FLAIR MRI.
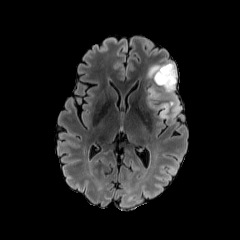
T1-weighted MR.
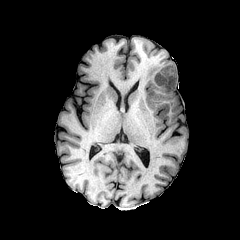
Post-contrast T1-weighted MR.
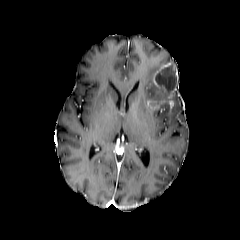
T2-weighted MR.
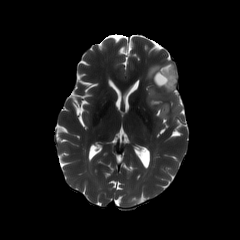
Head. Axial plane.
The necrotic tumor core is located at region(155, 65, 176, 91). The enhancing tumor lies within region(147, 63, 177, 109). The peritumoral edema is bounded by region(145, 60, 181, 119).